Image width 240 mm, Axial slice, Brain
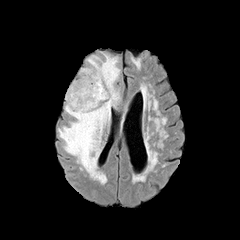
FLAIR MRI.
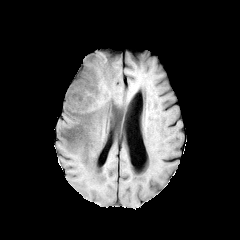
T1-weighted MRI.
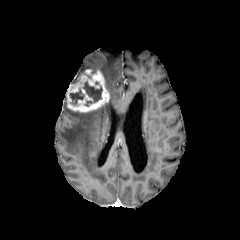
Post-contrast T1-weighted MR.
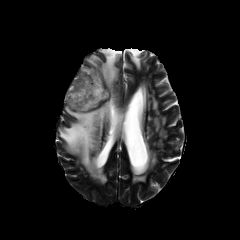
T2-weighted magnetic resonance.
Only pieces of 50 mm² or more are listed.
necrotic tumor core: bounding box [70,89,83,104], [83,82,102,106]
peritumoral edema: bounding box [58,54,119,179]
enhancing tumor: bounding box [66,69,109,112]